FLAIR magnetic resonance.
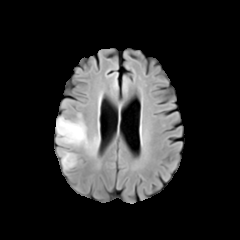
T1-weighted MR image.
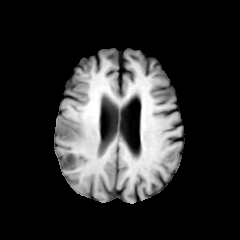
Post-contrast T1-weighted MRI.
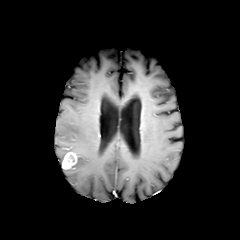
T2-weighted magnetic resonance.
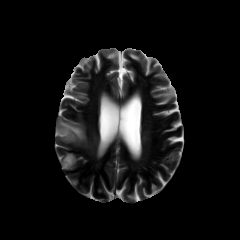
Axial slice
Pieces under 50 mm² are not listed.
The enhancing tumor is located at region(62, 152, 76, 169). The largest peritumoral edema region is bounded by region(56, 115, 98, 153).